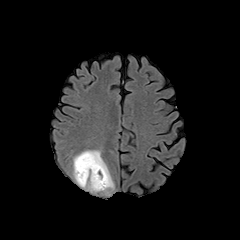
FLAIR MR image.
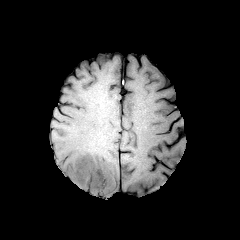
T1-weighted magnetic resonance.
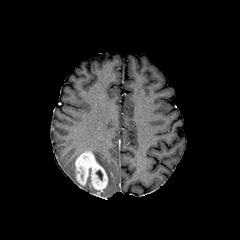
Post-contrast T1-weighted MR image.
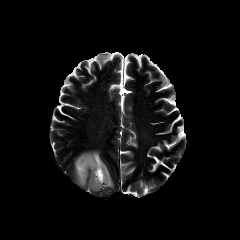
T2-weighted MRI of the same slice.
Image size 240x240 | Brain
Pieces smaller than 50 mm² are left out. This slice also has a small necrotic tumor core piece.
peritumoral edema: bounding box <bbox>72, 153, 100, 192</bbox>, <bbox>84, 150, 114, 194</bbox>
enhancing tumor: bounding box <bbox>75, 151, 108, 191</bbox>